Head. Axial plane.
FLAIR MRI.
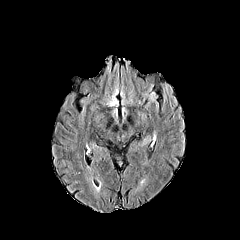
T1-weighted MR.
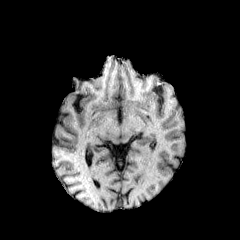
Post-contrast T1-weighted MR image.
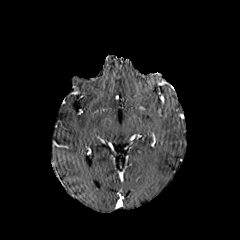
T2-weighted MR.
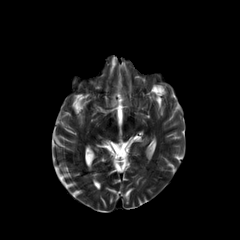
{
  "peritumoral_edema": [
    "[x1=108, y1=84, x2=118, y2=106]"
  ]
}